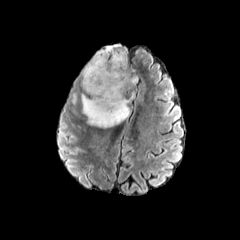
FLAIR MR image.
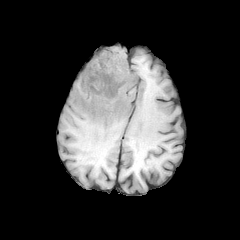
T1-weighted MRI.
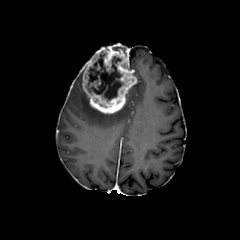
Same slice, post-contrast T1-weighted MRI.
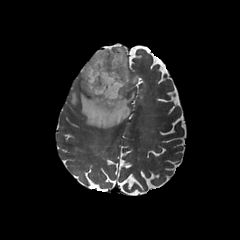
T2-weighted magnetic resonance.
Axial plane; Image size 240x240
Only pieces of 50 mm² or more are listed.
enhancing tumor — l=82, t=43, r=137, b=114
necrotic tumor core — l=86, t=51, r=123, b=100
peritumoral edema — l=72, t=91, r=135, b=127